FLAIR MR.
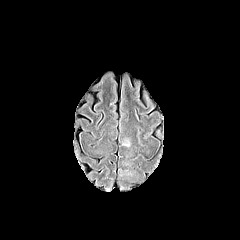
T1-weighted MR image.
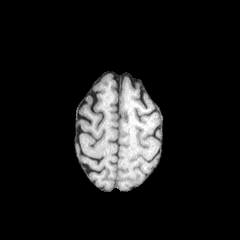
Post-contrast T1-weighted magnetic resonance.
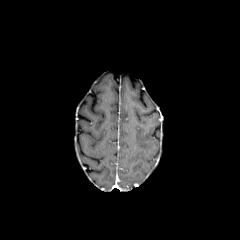
T2-weighted magnetic resonance.
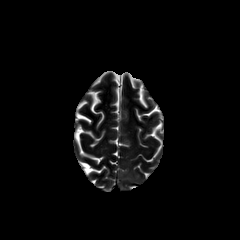
Axial view; 240x240 px
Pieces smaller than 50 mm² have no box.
The largest peritumoral edema region is bounded by bbox(122, 138, 130, 146).